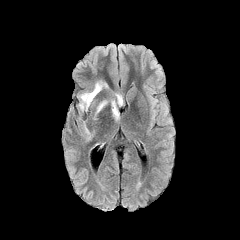
FLAIR MR.
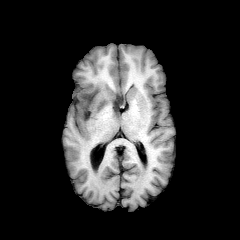
Same slice, T1-weighted MRI.
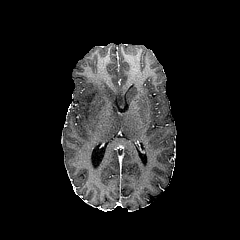
Same slice, post-contrast T1-weighted MR image.
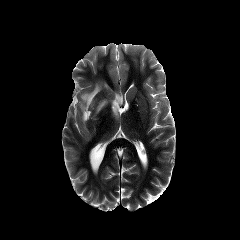
Same slice, T2-weighted MRI.
Axial slice.
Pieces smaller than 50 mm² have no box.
The 4 largest peritumoral edema regions appear at {"x1": 81, "y1": 121, "x2": 92, "y2": 141}, {"x1": 77, "y1": 81, "x2": 107, "y2": 112}, {"x1": 93, "y1": 100, "x2": 108, "y2": 119}, {"x1": 111, "y1": 93, "x2": 123, "y2": 120}.